FLAIR magnetic resonance.
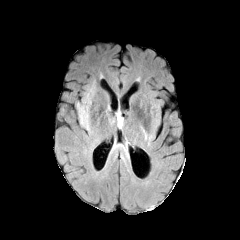
T1-weighted MR image.
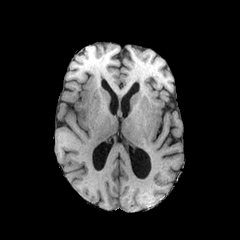
Post-contrast T1-weighted MRI.
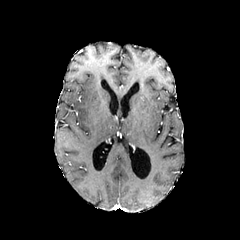
T2-weighted magnetic resonance.
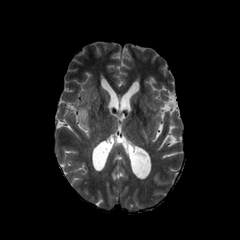
Axial view.
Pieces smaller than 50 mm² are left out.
The largest peritumoral edema region lies within bbox(77, 99, 91, 131).